FLAIR MRI.
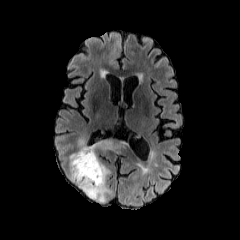
T1-weighted magnetic resonance.
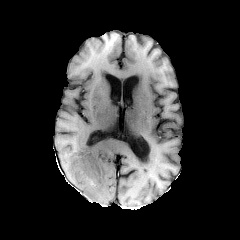
Post-contrast T1-weighted MRI.
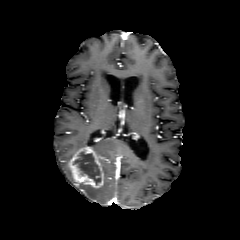
T2-weighted MR image.
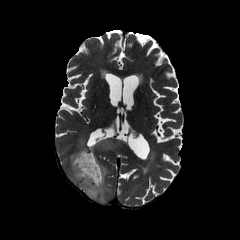
Axial plane.
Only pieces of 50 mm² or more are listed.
The necrotic tumor core appears at left=73, top=152, right=101, bottom=184. The 4 largest peritumoral edema regions are located at left=67, top=164, right=75, bottom=183; left=90, top=139, right=124, bottom=153; left=78, top=138, right=87, bottom=149; left=78, top=162, right=110, bottom=202. The enhancing tumor is located at left=69, top=147, right=103, bottom=188.